FLAIR MR.
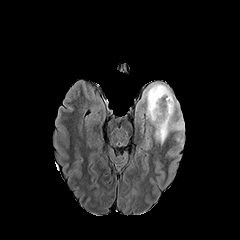
T1-weighted magnetic resonance.
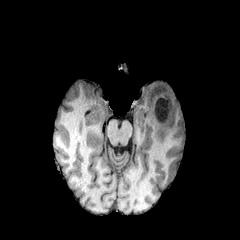
Post-contrast T1-weighted MR.
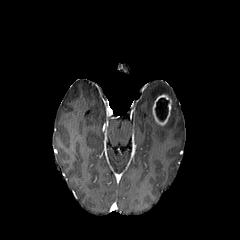
T2-weighted MRI.
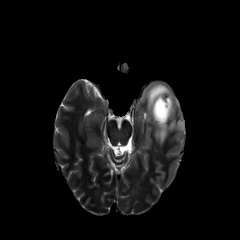
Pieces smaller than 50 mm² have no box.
* necrotic tumor core: (155,98,169,121)
* peritumoral edema: (142,82,184,144)
* enhancing tumor: (152,94,171,125)